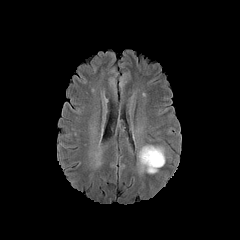
FLAIR MR.
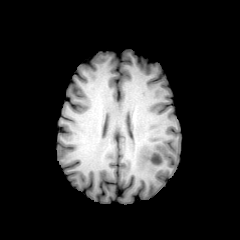
Same slice, T1-weighted MR image.
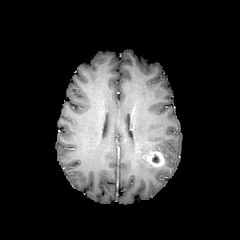
Same slice, post-contrast T1-weighted magnetic resonance.
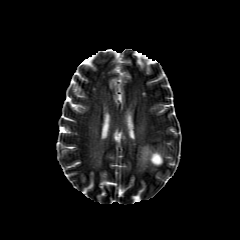
Same slice, T2-weighted MR.
240x240 | Axial view
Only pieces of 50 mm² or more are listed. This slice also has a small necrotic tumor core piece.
<segmentation>
  <peritumoral_edema>139 146 164 173</peritumoral_edema>
  <enhancing_tumor>143 151 163 166</enhancing_tumor>
</segmentation>